FLAIR MR.
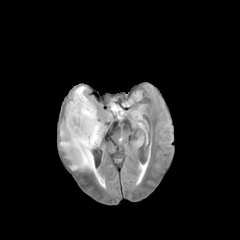
T1-weighted MR.
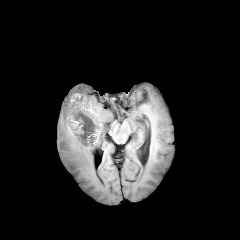
Post-contrast T1-weighted MR image.
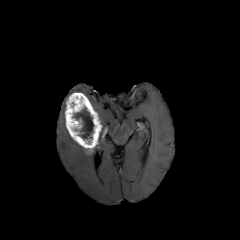
T2-weighted MRI.
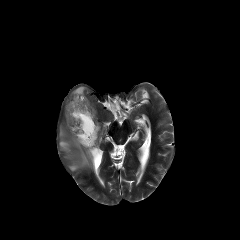
Axial slice
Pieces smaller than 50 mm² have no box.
necrotic tumor core — (left=74, top=107, right=93, bottom=138)
enhancing tumor — (left=65, top=92, right=102, bottom=153)
peritumoral edema — (left=60, top=125, right=96, bottom=173), (left=97, top=125, right=106, bottom=145), (left=74, top=86, right=86, bottom=92)